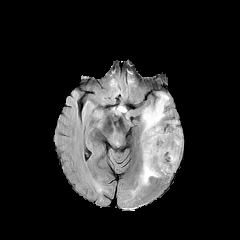
FLAIR MRI.
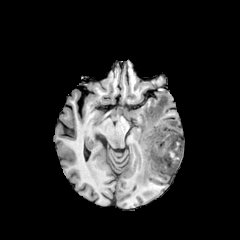
T1-weighted MR.
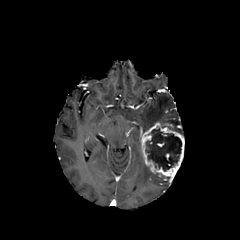
Post-contrast T1-weighted MRI.
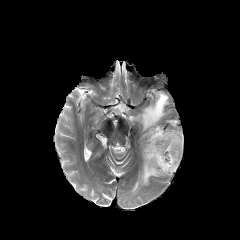
T2-weighted magnetic resonance.
240x240; Axial slice
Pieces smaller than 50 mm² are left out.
enhancing tumor at rect(140, 122, 184, 177)
necrotic tumor core at rect(146, 128, 181, 171)
peritumoral edema at rect(141, 93, 169, 132); rect(139, 160, 158, 185); rect(166, 120, 181, 133)